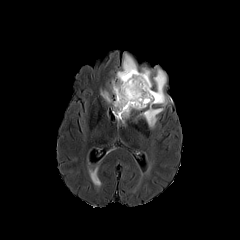
FLAIR magnetic resonance.
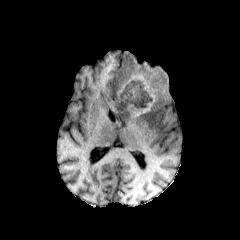
T1-weighted MR.
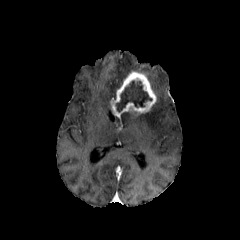
Post-contrast T1-weighted magnetic resonance.
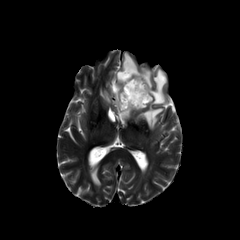
T2-weighted MR.
Axial plane
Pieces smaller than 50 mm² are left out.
The enhancing tumor is at 110, 70, 156, 118. The 6 largest peritumoral edema regions are bounded by 153, 69, 171, 106; 138, 108, 163, 128; 139, 68, 152, 86; 101, 91, 110, 103; 111, 53, 138, 98; 121, 112, 130, 122. The necrotic tumor core lies within 116, 81, 151, 111.